Slice index 101, Image size 240x240
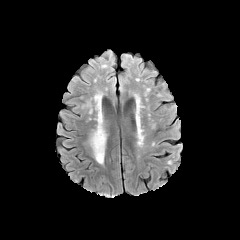
FLAIR MRI.
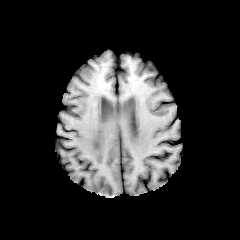
Same slice, T1-weighted MR image.
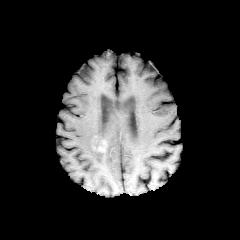
Same slice, post-contrast T1-weighted MR.
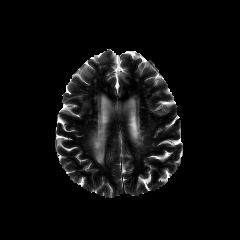
T2-weighted MR image.
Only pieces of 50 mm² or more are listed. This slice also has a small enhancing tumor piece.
peritumoral edema = 90, 118, 106, 163